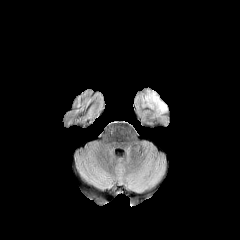
FLAIR MRI.
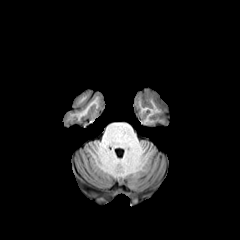
T1-weighted magnetic resonance.
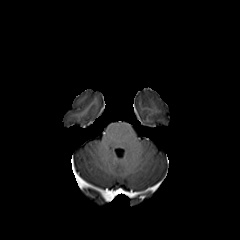
Post-contrast T1-weighted MR of the same slice.
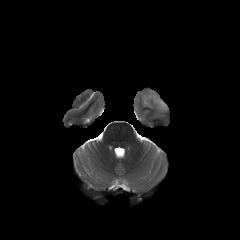
T2-weighted MRI.
240x240
The peritumoral edema is located at region(152, 93, 167, 111).